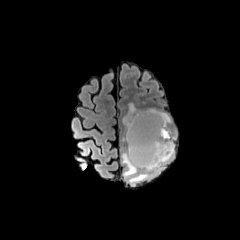
FLAIR MR.
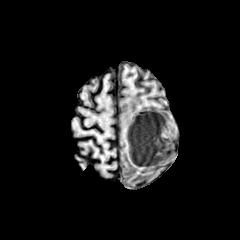
T1-weighted MR image.
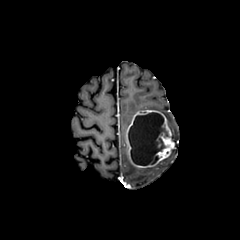
Post-contrast T1-weighted magnetic resonance.
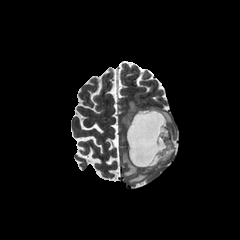
T2-weighted MR image.
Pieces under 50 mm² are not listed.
{"peritumoral_edema": ["123:103:137:127", "122:149:174:185"], "necrotic_tumor_core": ["128:112:168:165"], "enhancing_tumor": ["125:110:174:167"]}